FLAIR MR image.
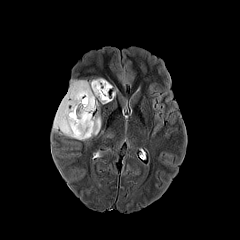
T1-weighted magnetic resonance.
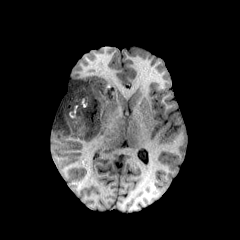
Post-contrast T1-weighted MRI.
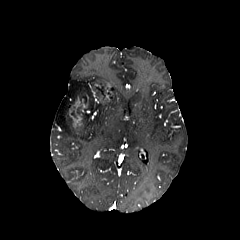
T2-weighted MR.
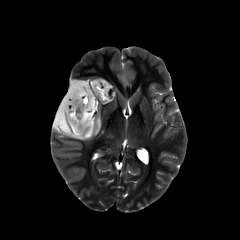
Brain; 240x240
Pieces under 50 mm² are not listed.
enhancing tumor — (left=98, top=83, right=110, bottom=103), (left=69, top=96, right=82, bottom=129), (left=81, top=94, right=88, bottom=112)
peritumoral edema — (left=104, top=89, right=115, bottom=103), (left=53, top=78, right=108, bottom=140)
necrotic tumor core — (left=71, top=93, right=97, bottom=135), (left=93, top=82, right=105, bottom=100)